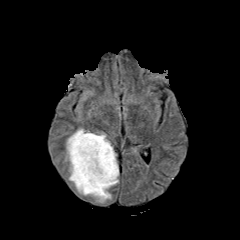
FLAIR magnetic resonance.
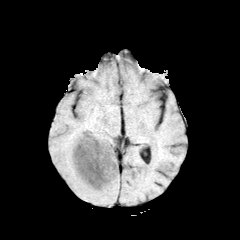
T1-weighted MRI.
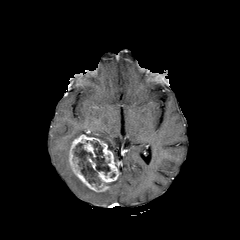
Same slice, post-contrast T1-weighted MR.
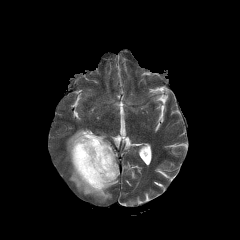
T2-weighted MRI.
Head
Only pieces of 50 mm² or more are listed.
Annotated regions:
• peritumoral edema: 89:132:116:162, 65:128:86:160, 69:165:111:202
• necrotic tumor core: 73:141:110:185
• enhancing tumor: 69:132:119:192, 87:156:96:170